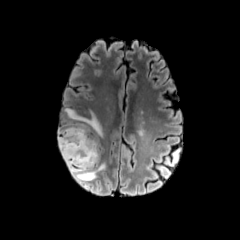
FLAIR MR image.
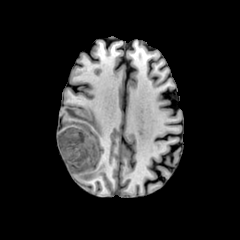
T1-weighted magnetic resonance of the same slice.
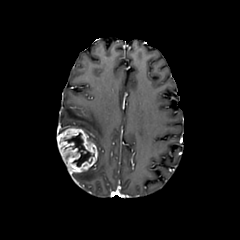
Post-contrast T1-weighted magnetic resonance of the same slice.
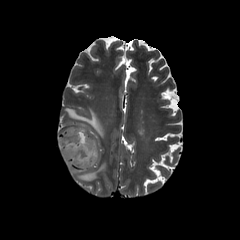
T2-weighted MR image.
Brain.
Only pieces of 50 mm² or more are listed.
The peritumoral edema lies within (x1=58, y1=108, x2=106, y2=183). The largest necrotic tumor core region lies within (x1=65, y1=133, x2=94, y2=166). The largest enhancing tumor region lies within (x1=57, y1=127, x2=97, y2=174).